FLAIR MRI.
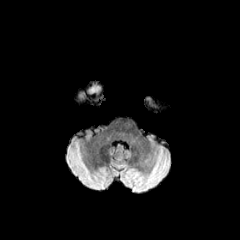
T1-weighted MR image.
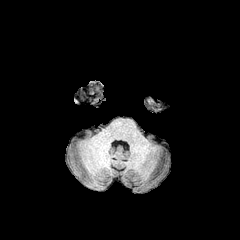
Post-contrast T1-weighted MR.
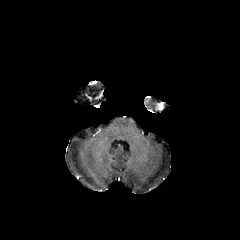
T2-weighted MR image.
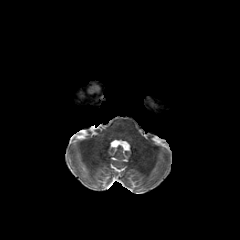
240x240 px. Axial slice.
* peritumoral edema: {"x1": 75, "y1": 82, "x2": 102, "y2": 105}